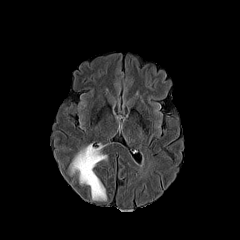
FLAIR MR.
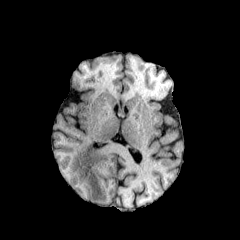
T1-weighted MR image.
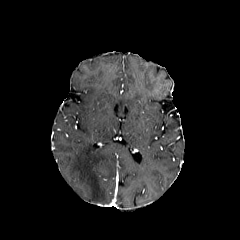
Post-contrast T1-weighted MR.
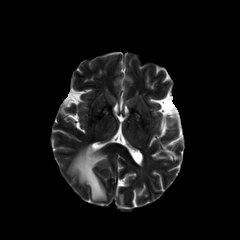
T2-weighted MR of the same slice.
Head
Segmented structures:
* peritumoral edema: (70,144,107,200)